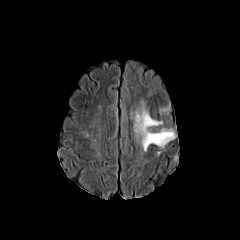
FLAIR MRI.
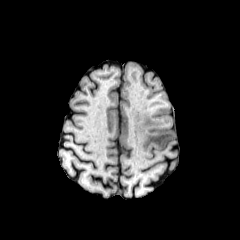
T1-weighted MR.
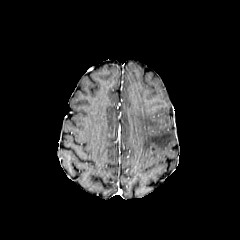
Post-contrast T1-weighted magnetic resonance.
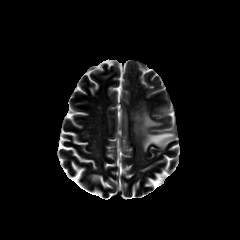
Same slice, T2-weighted MR.
Image size 240x240. Head.
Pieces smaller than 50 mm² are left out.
peritumoral edema: bounding box rect(161, 104, 170, 115); rect(134, 103, 174, 151)